Slice index 97, Axial plane
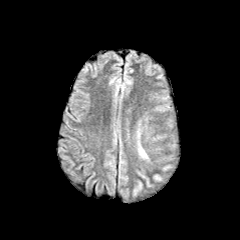
FLAIR MR image.
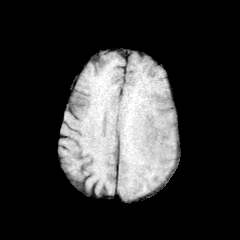
Same slice, T1-weighted magnetic resonance.
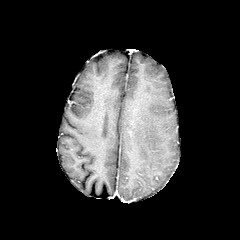
Same slice, post-contrast T1-weighted magnetic resonance.
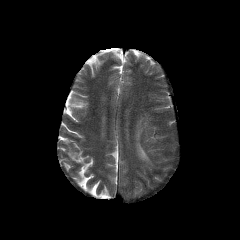
T2-weighted magnetic resonance.
The peritumoral edema is bounded by rect(138, 145, 147, 158).